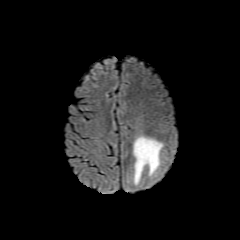
FLAIR magnetic resonance.
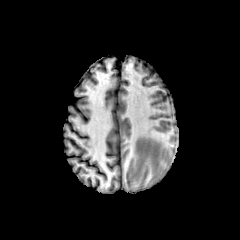
T1-weighted MR image of the same slice.
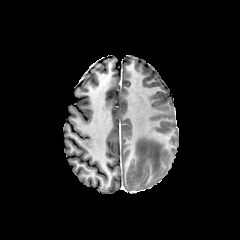
Same slice, post-contrast T1-weighted MR image.
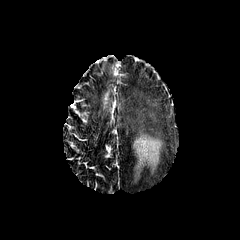
T2-weighted MRI.
Axial view, Brain
<segmentation>
  <peritumoral_edema>bbox=[132, 135, 163, 184]</peritumoral_edema>
</segmentation>